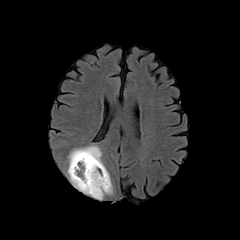
FLAIR MR image.
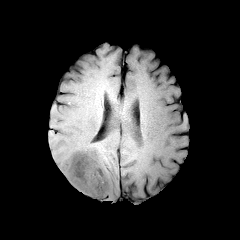
T1-weighted MR.
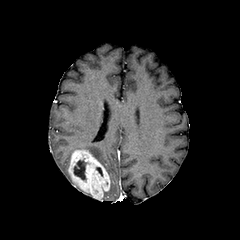
Same slice, post-contrast T1-weighted MR image.
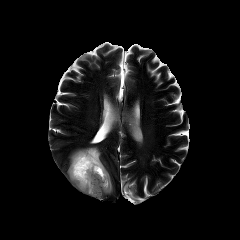
T2-weighted MRI.
240x240
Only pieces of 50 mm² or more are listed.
The largest necrotic tumor core region appears at left=74, top=160, right=86, bottom=179. The enhancing tumor lies within left=68, top=150, right=110, bottom=199. The 3 largest peritumoral edema regions appear at left=68, top=145, right=105, bottom=168; left=104, top=181, right=113, bottom=195; left=67, top=170, right=91, bottom=195.